240x240, Brain, Axial view
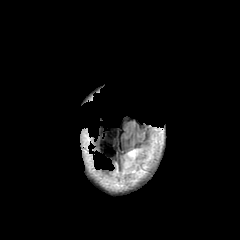
FLAIR MRI.
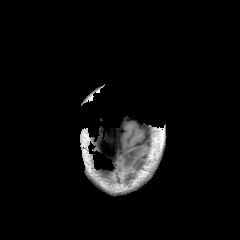
T1-weighted MR.
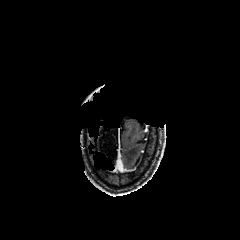
Post-contrast T1-weighted magnetic resonance.
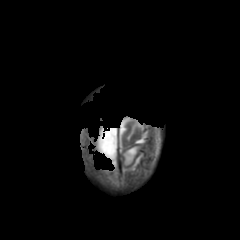
Same slice, T2-weighted MR.
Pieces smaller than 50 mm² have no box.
The largest peritumoral edema region is at {"x1": 123, "y1": 148, "x2": 143, "y2": 173}.